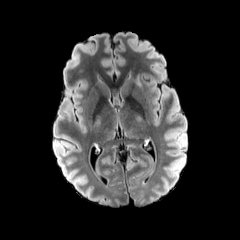
FLAIR MR.
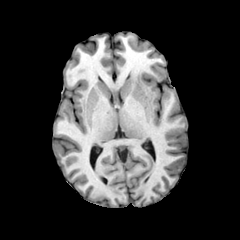
T1-weighted magnetic resonance.
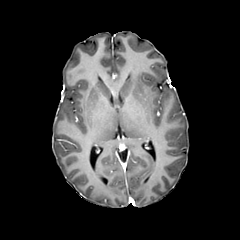
Post-contrast T1-weighted magnetic resonance.
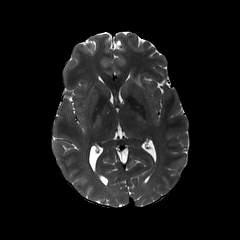
Same slice, T2-weighted magnetic resonance.
Brain
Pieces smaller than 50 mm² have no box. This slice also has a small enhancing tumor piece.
- peritumoral edema: bbox=[135, 75, 143, 87]